Slice 99 of 155, Image width 240 mm, Axial slice, Brain
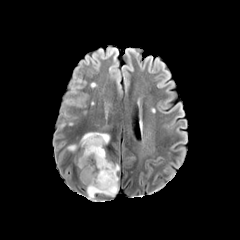
FLAIR MR image.
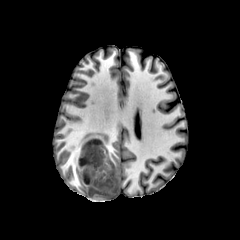
T1-weighted magnetic resonance.
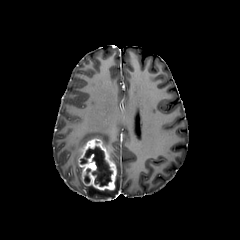
Same slice, post-contrast T1-weighted MR image.
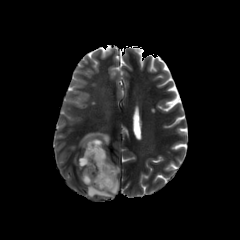
T2-weighted MR.
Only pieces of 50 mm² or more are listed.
peritumoral edema = box(80, 132, 109, 146); box(87, 176, 118, 198); box(67, 145, 76, 151)
necrotic tumor core = box(84, 169, 90, 183); box(80, 146, 112, 186)
enhancing tumor = box(78, 138, 116, 190)